FLAIR MR.
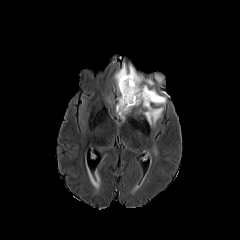
T1-weighted MR.
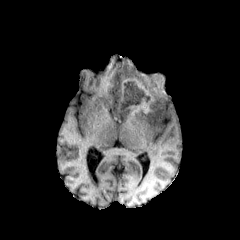
Post-contrast T1-weighted magnetic resonance.
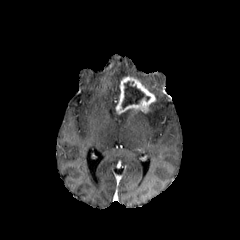
T2-weighted magnetic resonance.
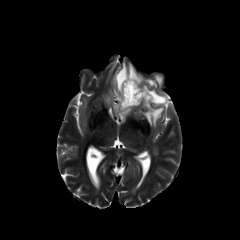
240x240 px; Head; Axial view
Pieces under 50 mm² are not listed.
necrotic tumor core: (left=122, top=81, right=149, bottom=108) | enhancing tumor: (left=116, top=76, right=156, bottom=114) | peritumoral edema: (left=116, top=109, right=131, bottom=120), (left=114, top=63, right=166, bottom=126)